Head. Image size 240x240.
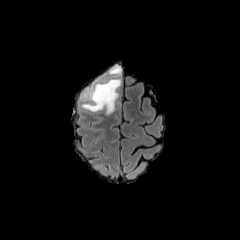
FLAIR MR image.
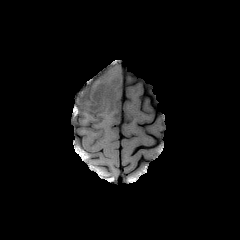
T1-weighted magnetic resonance.
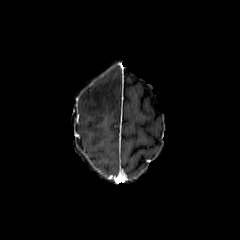
Same slice, post-contrast T1-weighted MR.
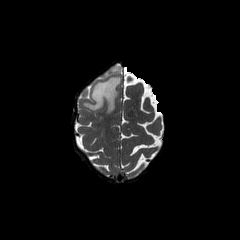
T2-weighted MR image.
peritumoral edema: 82, 77, 121, 114; 108, 65, 121, 74